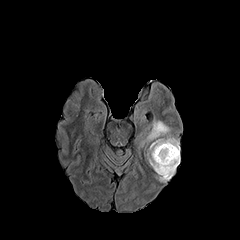
FLAIR magnetic resonance.
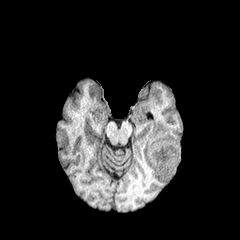
T1-weighted MR.
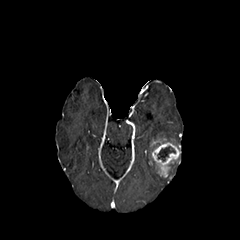
Post-contrast T1-weighted MR of the same slice.
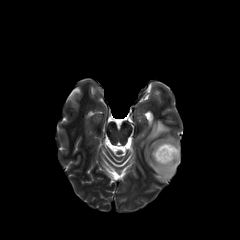
Same slice, T2-weighted MR.
Axial slice | Head
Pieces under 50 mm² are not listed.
The 2 largest peritumoral edema regions are located at 157, 163, 179, 182; 141, 120, 179, 146. The largest enhancing tumor region appears at 150, 138, 180, 177. The necrotic tumor core is at 157, 146, 175, 161.